Brain, Slice 80 of 155, Axial slice
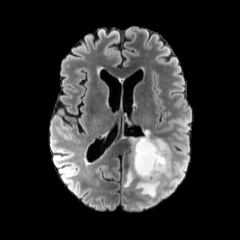
FLAIR MR.
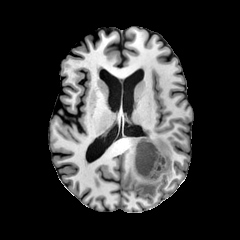
T1-weighted MRI.
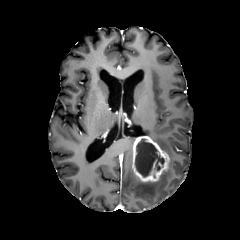
Post-contrast T1-weighted magnetic resonance.
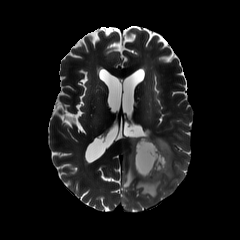
Same slice, T2-weighted magnetic resonance.
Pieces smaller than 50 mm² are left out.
enhancing tumor: bounding box (left=132, top=136, right=169, bottom=182)
necrotic tumor core: bounding box (left=135, top=139, right=164, bottom=176)
peritumoral edema: bounding box (left=123, top=153, right=135, bottom=187), (left=135, top=130, right=171, bottom=197)